FLAIR magnetic resonance.
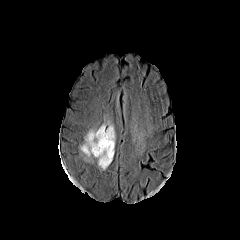
T1-weighted MR.
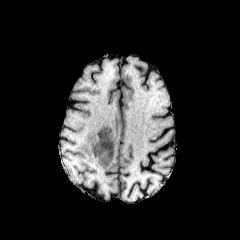
Post-contrast T1-weighted MR.
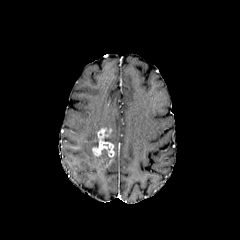
T2-weighted magnetic resonance.
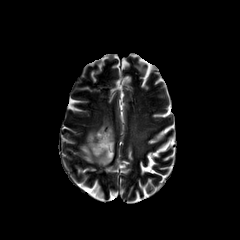
Axial view. 240x240 px.
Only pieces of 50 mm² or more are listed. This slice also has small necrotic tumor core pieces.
enhancing tumor: <box>92,128,114,158</box> | peritumoral edema: <box>81,121,115,162</box>, <box>95,151,113,168</box>